FLAIR MRI.
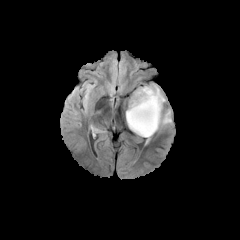
T1-weighted magnetic resonance.
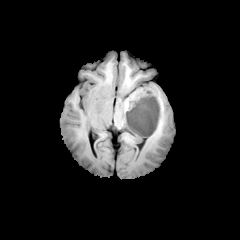
Post-contrast T1-weighted MR image.
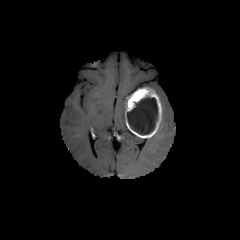
T2-weighted MR.
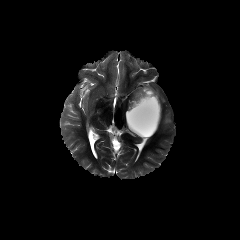
Head
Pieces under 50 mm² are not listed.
The 2 largest peritumoral edema regions are located at 144,86,165,109; 160,110,171,124. The enhancing tumor is at 125,87,162,138. The necrotic tumor core is located at 127,97,157,134.